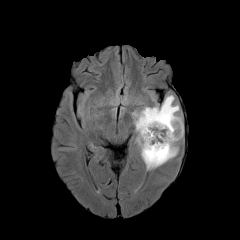
FLAIR magnetic resonance.
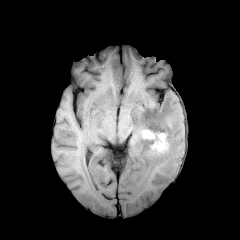
T1-weighted MR image of the same slice.
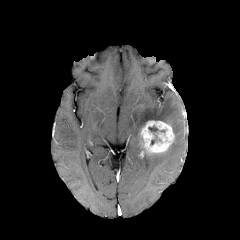
Post-contrast T1-weighted MR image.
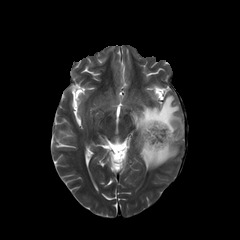
Same slice, T2-weighted magnetic resonance.
Image size 240x240
{"necrotic_tumor_core": ["[148, 126, 165, 145]"], "peritumoral_edema": ["[131, 95, 183, 170]"], "enhancing_tumor": ["[141, 120, 174, 154]"]}